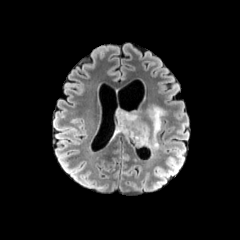
FLAIR MR.
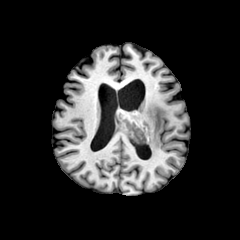
T1-weighted MRI.
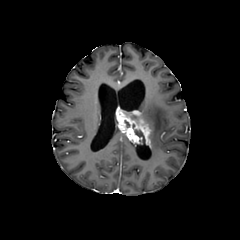
Same slice, post-contrast T1-weighted MRI.
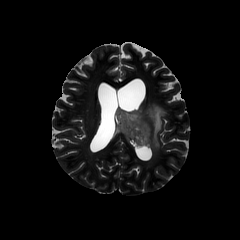
T2-weighted MR image.
Head, Image size 240x240
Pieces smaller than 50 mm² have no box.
peritumoral edema: bounding box 147:105:165:150
necrotic tumor core: bounding box 135:130:145:142
enhancing tumor: bounding box 115:109:150:147